240x240 px; Axial slice
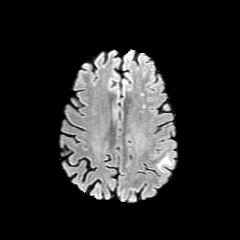
FLAIR MR image.
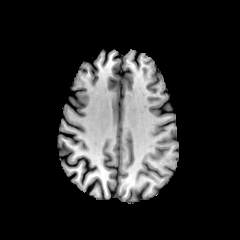
Same slice, T1-weighted MR image.
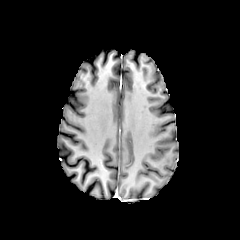
Post-contrast T1-weighted MR image of the same slice.
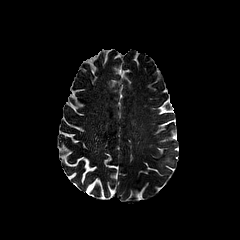
T2-weighted MRI.
Findings:
* peritumoral edema: [158, 158, 169, 166]